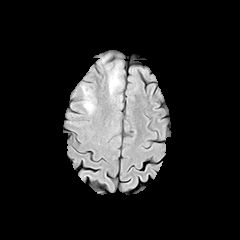
FLAIR MR.
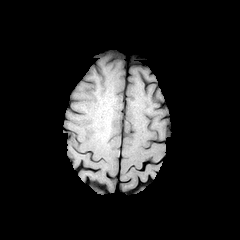
T1-weighted MRI.
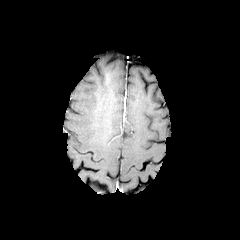
Post-contrast T1-weighted MR image.
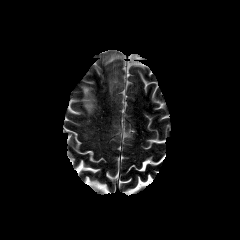
Same slice, T2-weighted MRI.
Head | 240x240 px
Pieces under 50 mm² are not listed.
peritumoral edema: bounding box box=[82, 85, 94, 113]; box=[109, 69, 120, 93]